FLAIR MR image.
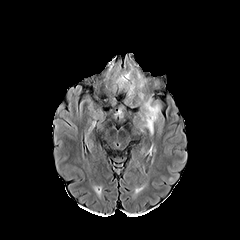
T1-weighted MRI.
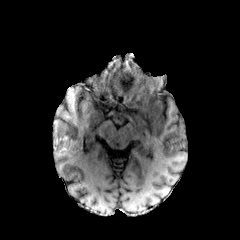
Post-contrast T1-weighted MR.
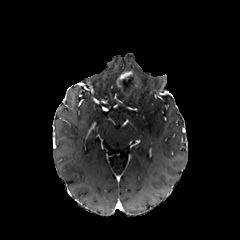
T2-weighted MRI.
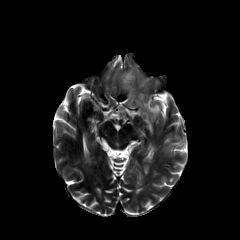
Axial plane; Brain
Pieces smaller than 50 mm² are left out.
peritumoral edema at <bbox>137, 71, 145, 87</bbox>, <bbox>144, 98, 160, 133</bbox>
necrotic tumor core at <bbox>120, 75, 135, 91</bbox>
enhancing tumor at <bbox>116, 71, 132, 89</bbox>